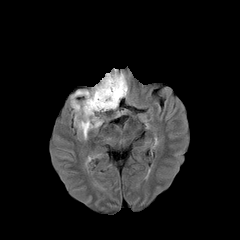
FLAIR MR image.
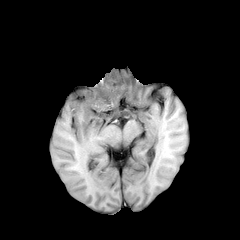
T1-weighted magnetic resonance.
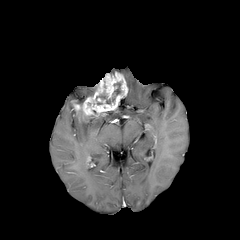
Post-contrast T1-weighted magnetic resonance of the same slice.
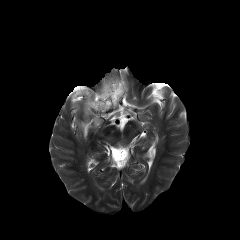
T2-weighted MR of the same slice.
Axial slice | Brain
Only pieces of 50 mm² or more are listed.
The 2 largest peritumoral edema regions appear at rect(71, 90, 94, 100); rect(74, 115, 102, 139). The 2 largest necrotic tumor core regions are bounded by rect(106, 81, 122, 103); rect(94, 87, 106, 104). The enhancing tumor is bounded by rect(71, 72, 127, 122).